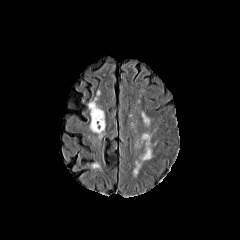
FLAIR MRI.
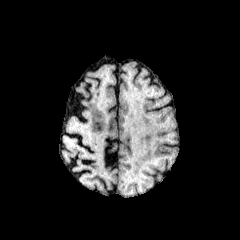
T1-weighted magnetic resonance of the same slice.
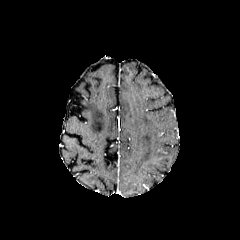
Post-contrast T1-weighted MRI.
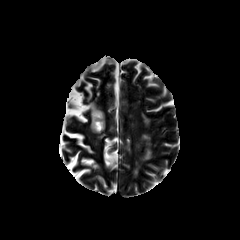
Same slice, T2-weighted MR.
Axial view.
peritumoral_edema:
  - region(134, 161, 140, 175)
  - region(141, 147, 151, 160)
  - region(142, 114, 149, 124)
  - region(142, 134, 149, 144)